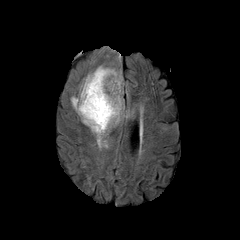
FLAIR MR image.
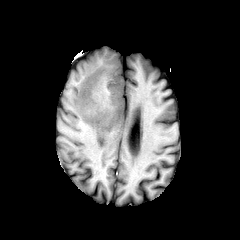
T1-weighted magnetic resonance.
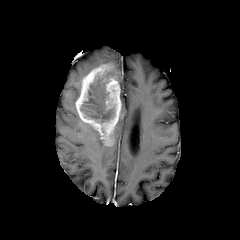
Same slice, post-contrast T1-weighted MR image.
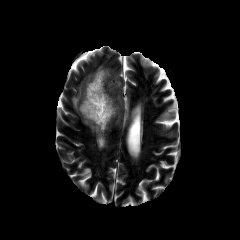
Same slice, T2-weighted MRI.
Brain
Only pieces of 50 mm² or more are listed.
Segmented structures:
- necrotic tumor core: box(80, 77, 114, 122)
- enhancing tumor: box(75, 64, 123, 145)
- peritumoral edema: box(84, 123, 108, 149); box(71, 84, 80, 111)